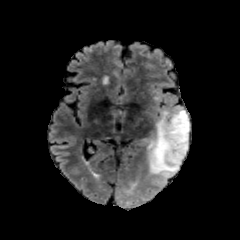
FLAIR MR image.
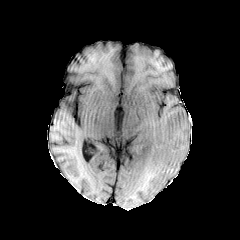
T1-weighted MRI of the same slice.
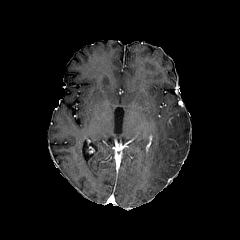
Same slice, post-contrast T1-weighted magnetic resonance.
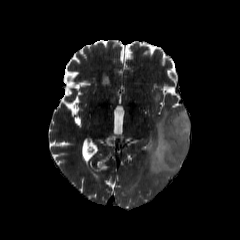
T2-weighted MR image.
Axial slice, Image size 240x240
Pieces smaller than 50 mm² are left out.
The largest peritumoral edema region is located at box=[147, 107, 189, 182].